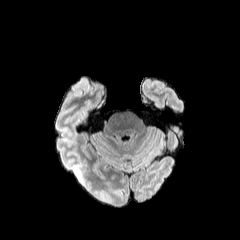
FLAIR MR.
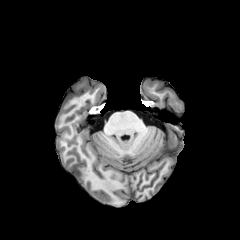
Same slice, T1-weighted MR image.
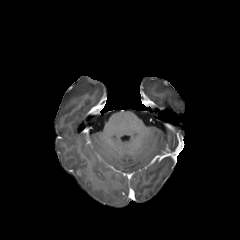
Post-contrast T1-weighted MR of the same slice.
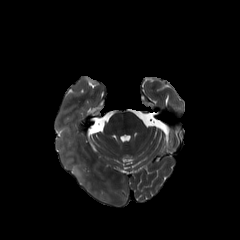
Same slice, T2-weighted MR.
Brain
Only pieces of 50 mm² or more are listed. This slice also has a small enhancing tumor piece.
The peritumoral edema is at [x1=73, y1=166, x2=84, y2=184].